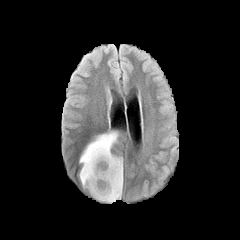
FLAIR MR.
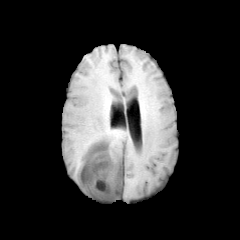
T1-weighted magnetic resonance.
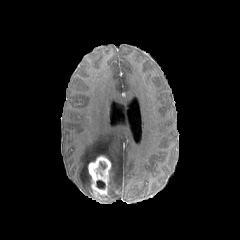
Post-contrast T1-weighted MR image.
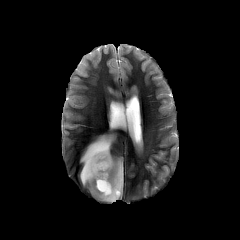
T2-weighted MR.
240x240 px. Axial view.
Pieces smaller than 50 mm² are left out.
enhancing tumor: left=88, top=155, right=120, bottom=202 | necrotic tumor core: left=97, top=180, right=105, bottom=188 | peritumoral edema: left=79, top=132, right=126, bottom=201